240x240 px, Slice index 96, Head
FLAIR magnetic resonance.
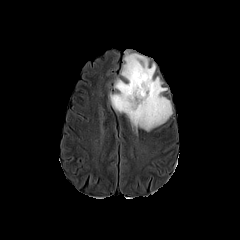
T1-weighted MR image.
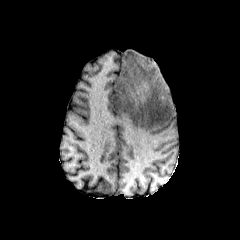
Post-contrast T1-weighted MR image.
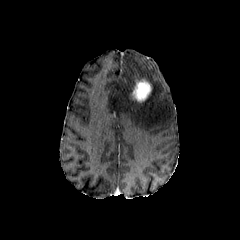
T2-weighted MRI.
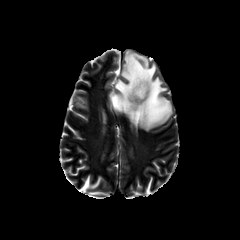
peritumoral edema = (left=109, top=51, right=172, bottom=131)
enhancing tumor = (left=131, top=79, right=152, bottom=102)